Axial slice
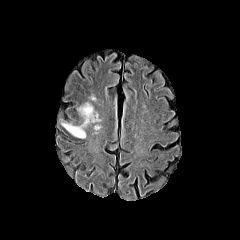
FLAIR magnetic resonance.
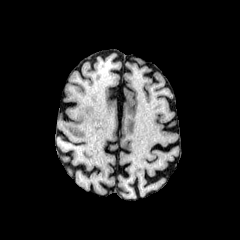
Same slice, T1-weighted MR.
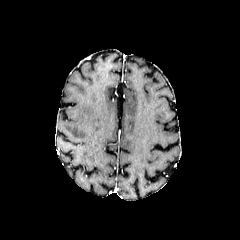
Same slice, post-contrast T1-weighted MR image.
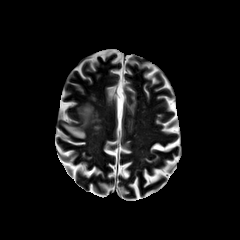
T2-weighted MR.
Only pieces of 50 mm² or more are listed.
The largest peritumoral edema region is bounded by [62, 103, 95, 138].